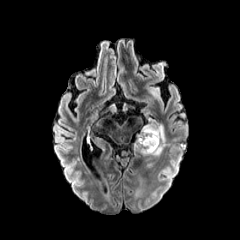
FLAIR MRI.
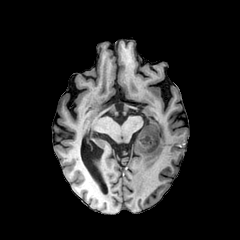
T1-weighted magnetic resonance of the same slice.
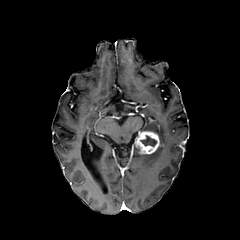
Post-contrast T1-weighted MR.
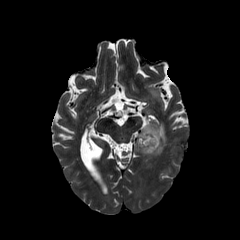
T2-weighted magnetic resonance of the same slice.
240x240 px; Head
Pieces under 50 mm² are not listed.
enhancing tumor: 134, 130, 159, 154 | necrotic tumor core: 140, 135, 156, 146 | peritumoral edema: 141, 120, 166, 156